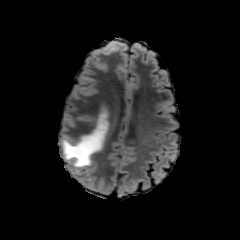
FLAIR MRI.
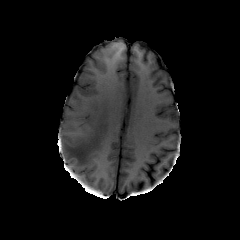
T1-weighted MRI.
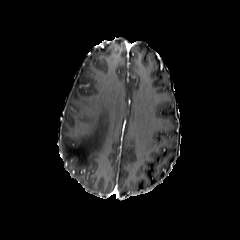
Same slice, post-contrast T1-weighted MR image.
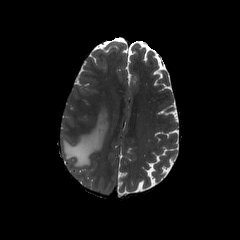
T2-weighted MRI.
240x240
The peritumoral edema appears at {"x1": 62, "y1": 109, "x2": 108, "y2": 167}.